FLAIR MR image.
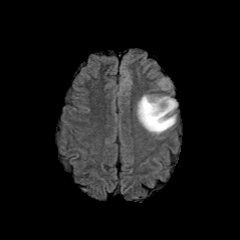
T1-weighted magnetic resonance.
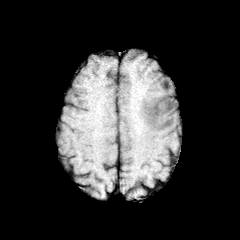
Post-contrast T1-weighted MR.
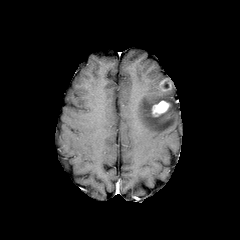
T2-weighted magnetic resonance.
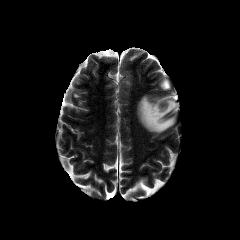
Brain | Axial plane
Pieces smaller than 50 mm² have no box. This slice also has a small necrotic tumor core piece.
The largest peritumoral edema region lies within box(137, 95, 177, 134). 2 enhancing tumor regions are bounded by box(152, 100, 170, 116); box(160, 78, 171, 90).